Slice index 48; Brain
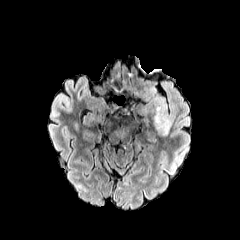
FLAIR MRI.
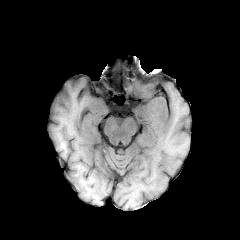
T1-weighted MR.
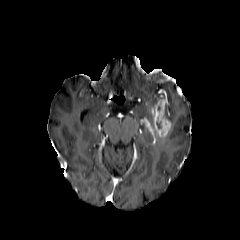
Same slice, post-contrast T1-weighted magnetic resonance.
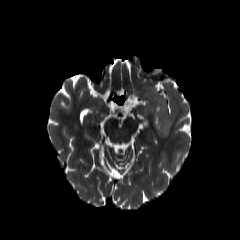
T2-weighted magnetic resonance.
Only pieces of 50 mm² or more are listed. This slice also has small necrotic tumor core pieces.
peritumoral edema: 145,96,162,113 | enhancing tumor: 149,98,171,137